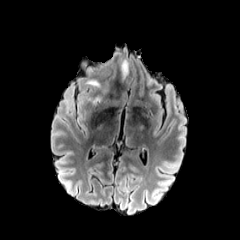
FLAIR MRI.
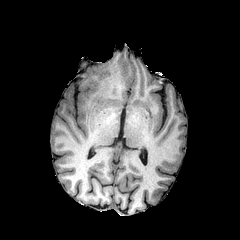
T1-weighted MRI of the same slice.
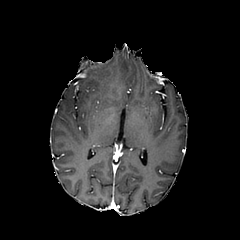
Same slice, post-contrast T1-weighted magnetic resonance.
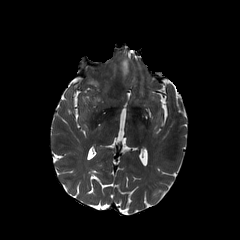
T2-weighted MR image of the same slice.
Brain, Axial slice
peritumoral_edema:
  - (x1=119, y1=59, x2=128, y2=82)
  - (x1=85, y1=64, x2=116, y2=106)